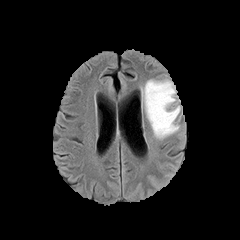
FLAIR MR image.
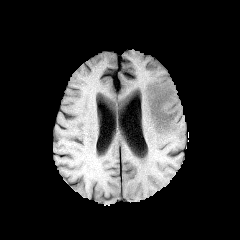
T1-weighted MR image.
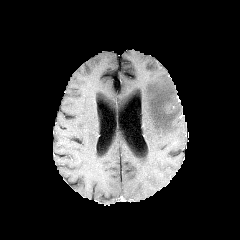
Post-contrast T1-weighted MR image.
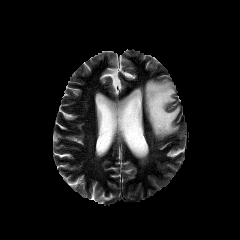
T2-weighted MR.
Brain | Image size 240x240 | Axial slice
peritumoral edema at (141,79,180,139)